FLAIR MRI.
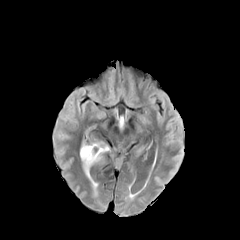
T1-weighted magnetic resonance.
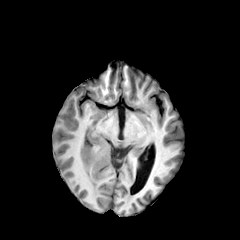
Post-contrast T1-weighted MR.
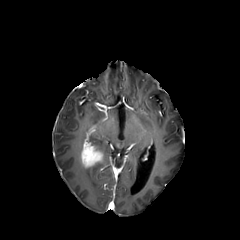
T2-weighted magnetic resonance.
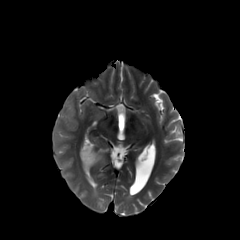
Head
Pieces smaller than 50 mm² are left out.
The enhancing tumor is at rect(80, 142, 104, 167). The 2 largest peritumoral edema regions are located at rect(84, 168, 97, 189); rect(93, 142, 107, 152).